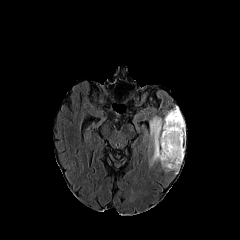
FLAIR MR image.
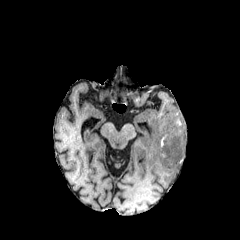
Same slice, T1-weighted MR.
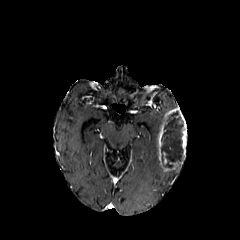
Post-contrast T1-weighted MRI of the same slice.
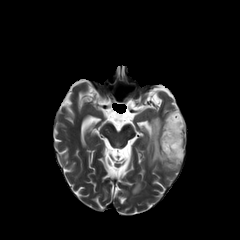
T2-weighted MRI.
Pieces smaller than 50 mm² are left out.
necrotic tumor core: bounding box (x1=161, y1=111, x2=183, y2=167)
peritumoral edema: bounding box (x1=148, y1=116, x2=162, y2=166)
enhancing tumor: bounding box (x1=157, y1=107, x2=186, y2=171)